240x240
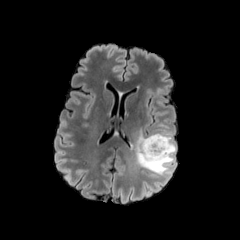
FLAIR MR.
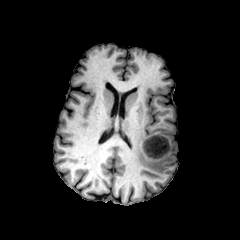
T1-weighted MR of the same slice.
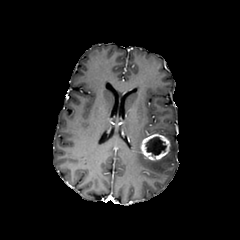
Same slice, post-contrast T1-weighted MR.
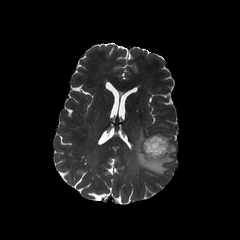
T2-weighted magnetic resonance.
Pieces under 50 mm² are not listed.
{
  "peritumoral_edema": [
    "x1=134 y1=128 x2=176 y2=174"
  ],
  "enhancing_tumor": [
    "x1=140 y1=134 x2=170 y2=160"
  ],
  "necrotic_tumor_core": [
    "x1=144 y1=136 x2=166 y2=157"
  ]
}